Head | Image size 240x240 | Slice index 92
FLAIR magnetic resonance.
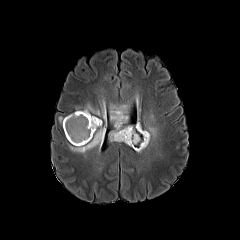
T1-weighted MR.
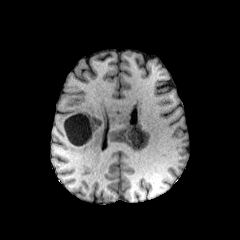
Post-contrast T1-weighted MR image.
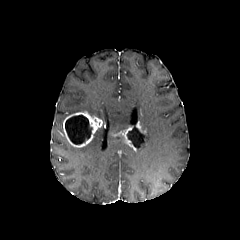
T2-weighted MR image.
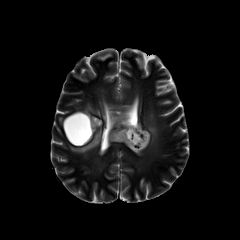
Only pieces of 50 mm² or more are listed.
The 4 largest peritumoral edema regions are bounded by (x1=69, y1=127, x2=105, y2=153), (x1=109, y1=104, x2=129, y2=141), (x1=137, y1=124, x2=157, y2=151), (x1=74, y1=103, x2=106, y2=122). 2 enhancing tumor regions are located at (x1=112, y1=122, x2=147, y2=150), (x1=63, y1=111, x2=102, y2=147). The 2 largest necrotic tumor core regions are located at (x1=65, y1=115, x2=92, y2=144), (x1=127, y1=127, x2=144, y2=147).